Head; Slice index 89; Image width 240 mm, 1.00 mm slice spacing
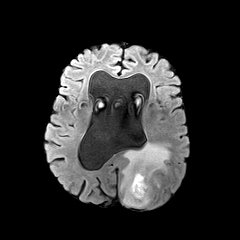
FLAIR MRI.
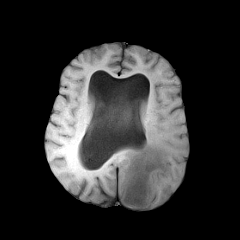
T1-weighted MR image.
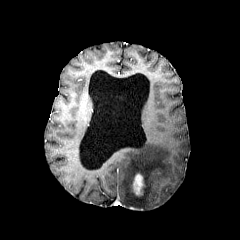
Post-contrast T1-weighted MR of the same slice.
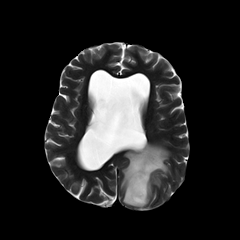
Same slice, T2-weighted magnetic resonance.
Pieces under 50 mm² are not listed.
The enhancing tumor lies within (x1=132, y1=173, x2=145, y2=195). The largest peritumoral edema region is located at (x1=121, y1=143, x2=169, y2=207).